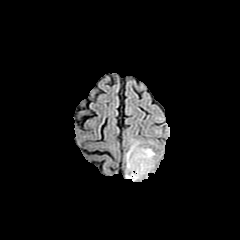
FLAIR MRI.
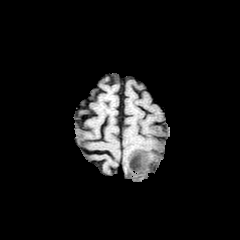
T1-weighted MR image of the same slice.
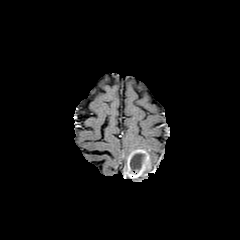
Post-contrast T1-weighted MR.
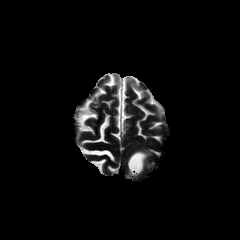
T2-weighted MRI.
Axial plane. Head.
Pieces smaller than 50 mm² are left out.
peritumoral edema at box=[126, 142, 154, 167]
necrotic tumor core at box=[130, 153, 144, 170]
enhancing tumor at box=[127, 149, 151, 178]